Axial slice | Brain
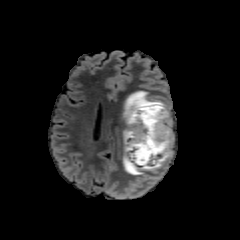
FLAIR MR.
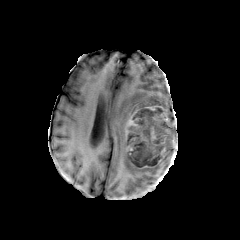
T1-weighted MRI.
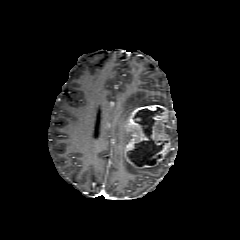
Post-contrast T1-weighted magnetic resonance.
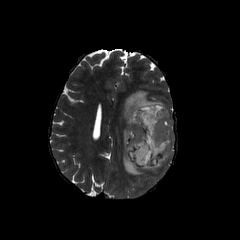
Same slice, T2-weighted MR.
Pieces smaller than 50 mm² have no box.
The 2 largest peritumoral edema regions are bounded by x1=123, y1=90, x2=167, y2=124; x1=123, y1=142, x2=161, y2=177. The largest necrotic tumor core region lies within x1=126, y1=107, x2=166, y2=166. The enhancing tumor is at x1=124, y1=104, x2=173, y2=168.